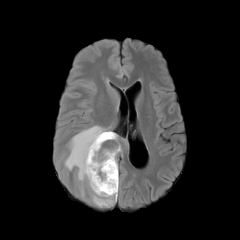
FLAIR MRI.
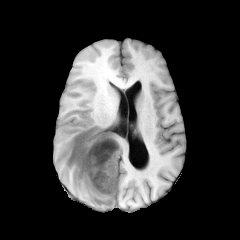
T1-weighted magnetic resonance of the same slice.
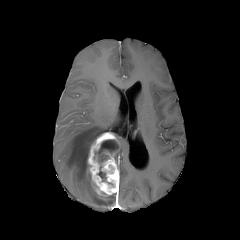
Post-contrast T1-weighted MR.
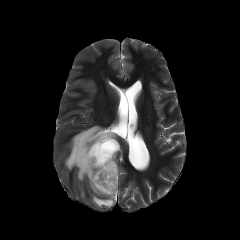
T2-weighted magnetic resonance.
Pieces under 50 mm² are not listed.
enhancing tumor at (86,132,119,195)
necrotic tumor core at (98,140,119,154)
peritumoral edema at (64,125,116,207)